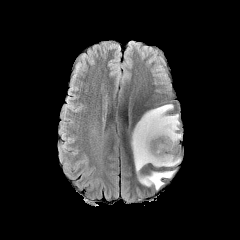
FLAIR MRI.
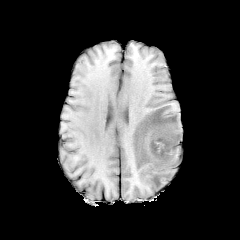
T1-weighted magnetic resonance.
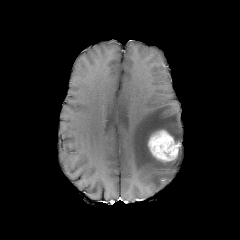
Same slice, post-contrast T1-weighted magnetic resonance.
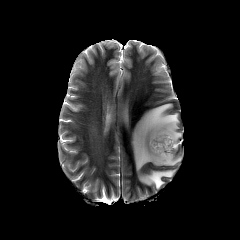
Same slice, T2-weighted magnetic resonance.
Axial slice
The enhancing tumor is bounded by rect(148, 129, 180, 162). The peritumoral edema is bounded by rect(131, 104, 181, 189).